FLAIR MR.
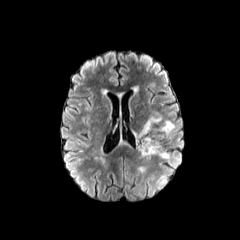
T1-weighted MR.
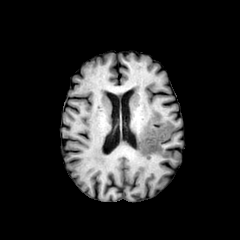
Post-contrast T1-weighted magnetic resonance.
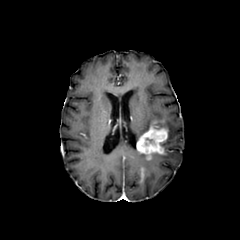
T2-weighted MR.
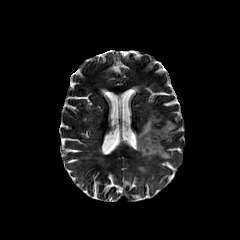
Image size 240x240 | Brain
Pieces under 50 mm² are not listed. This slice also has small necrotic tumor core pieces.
The largest enhancing tumor region lies within bbox=[136, 120, 167, 159]. The 3 largest peritumoral edema regions are bounded by bbox=[134, 116, 161, 143]; bbox=[152, 151, 173, 159]; bbox=[163, 120, 175, 137].